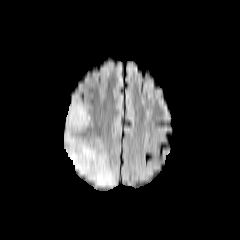
FLAIR MR.
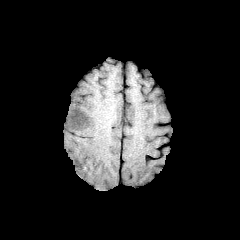
T1-weighted MR.
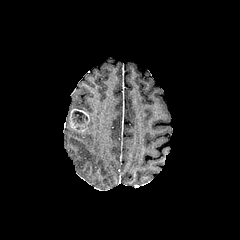
Post-contrast T1-weighted MR image of the same slice.
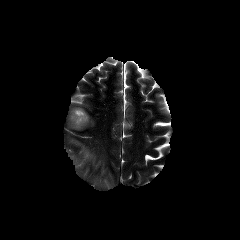
T2-weighted MR image.
Axial view, Head, 240x240 px
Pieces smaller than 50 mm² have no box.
The largest necrotic tumor core region is bounded by (72,111,87,124). The 2 largest peritumoral edema regions are located at (67,135,115,186), (67,103,86,131). The enhancing tumor lies within (69,108,89,131).